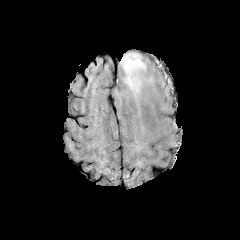
FLAIR MR.
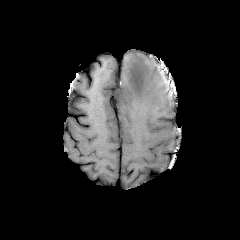
T1-weighted magnetic resonance.
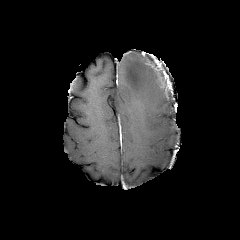
Post-contrast T1-weighted magnetic resonance of the same slice.
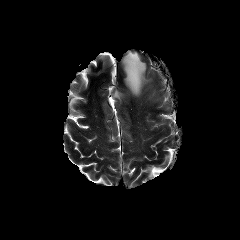
T2-weighted MRI.
Head; Axial slice
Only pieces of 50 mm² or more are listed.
The largest peritumoral edema region is at [x1=121, y1=52, x2=152, y2=97].